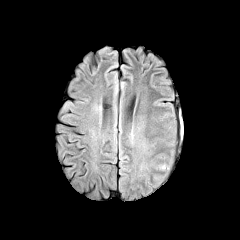
FLAIR magnetic resonance.
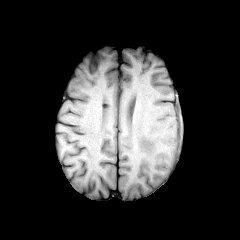
T1-weighted MR.
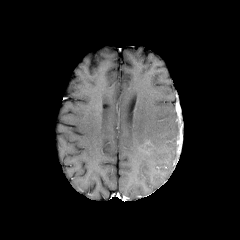
Post-contrast T1-weighted MRI of the same slice.
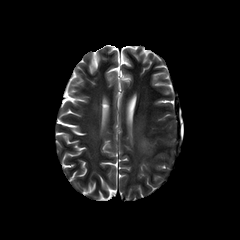
T2-weighted magnetic resonance.
Axial view, Image size 240x240
Findings:
* peritumoral edema: 156 163 169 172